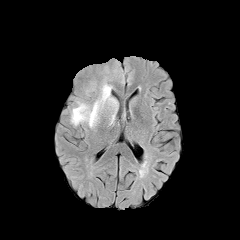
FLAIR MR.
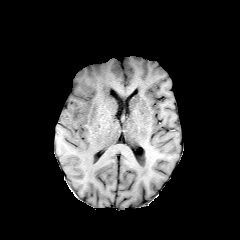
Same slice, T1-weighted MR.
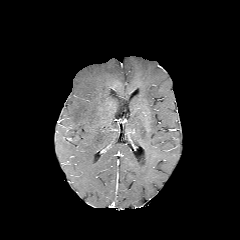
Post-contrast T1-weighted magnetic resonance.
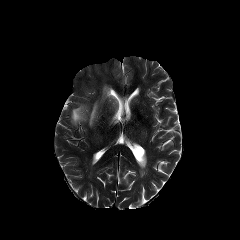
T2-weighted MR.
240x240 | Head
{"peritumoral_edema": ["bbox(71, 83, 117, 127)"]}